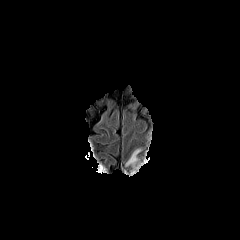
FLAIR magnetic resonance.
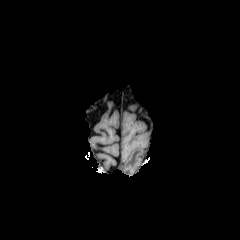
T1-weighted MR image.
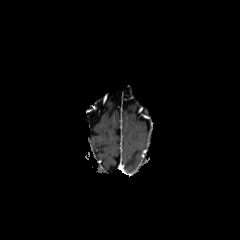
Same slice, post-contrast T1-weighted MR.
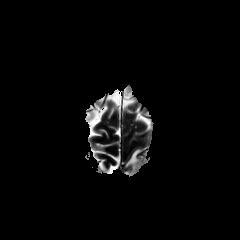
T2-weighted MR.
240x240 px | Axial view
peritumoral_edema:
  - bbox=[125, 148, 141, 168]